FLAIR MRI.
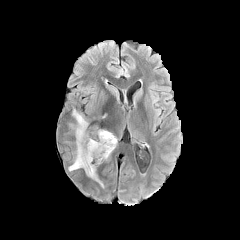
T1-weighted MR image.
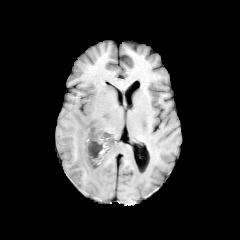
Post-contrast T1-weighted magnetic resonance.
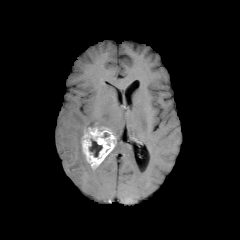
T2-weighted MRI.
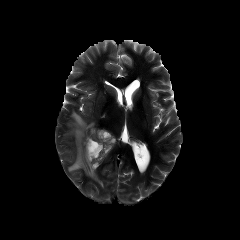
Axial view; 240x240; Head
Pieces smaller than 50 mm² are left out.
Segmented structures:
* peritumoral edema: x1=66 y1=109 x2=102 y2=186
* enhancing tumor: x1=80 y1=121 x2=116 y2=169
* necrotic tumor core: x1=89 y1=139 x2=102 y2=157